Axial view | Head | Image size 240x240
FLAIR MR.
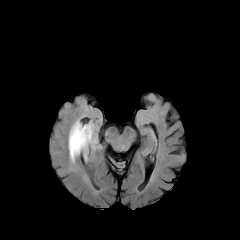
T1-weighted MR image.
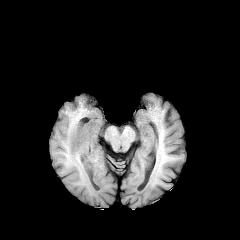
Post-contrast T1-weighted MR image.
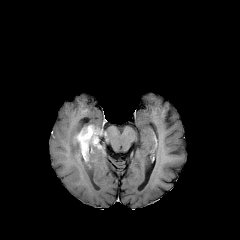
T2-weighted magnetic resonance.
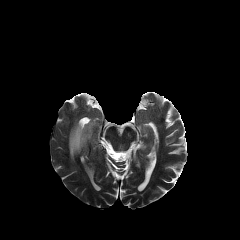
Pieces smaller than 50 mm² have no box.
peritumoral edema: bounding box bbox(69, 121, 98, 161)
enhancing tumor: bounding box bbox(76, 125, 101, 148)